FLAIR MRI.
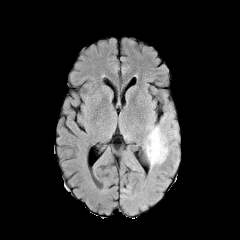
T1-weighted MR image.
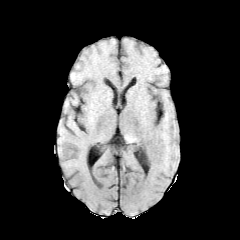
Post-contrast T1-weighted MR image.
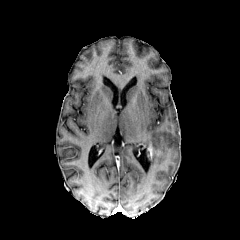
T2-weighted MR.
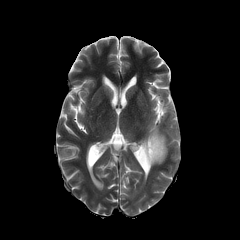
Brain
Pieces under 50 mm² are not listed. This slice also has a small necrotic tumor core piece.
<segmentation>
  <peritumoral_edema>(x1=143, y1=125, x2=167, y2=166)</peritumoral_edema>
  <enhancing_tumor>(x1=147, y1=141, x2=162, y2=159)</enhancing_tumor>
</segmentation>